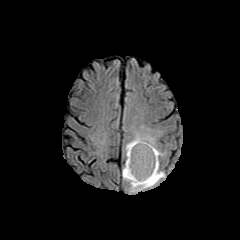
FLAIR MRI.
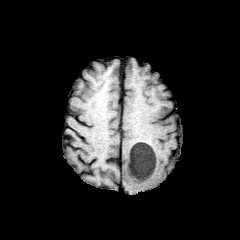
T1-weighted magnetic resonance.
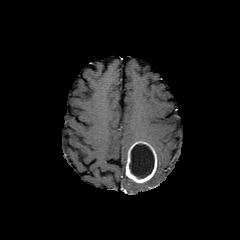
Post-contrast T1-weighted MR.
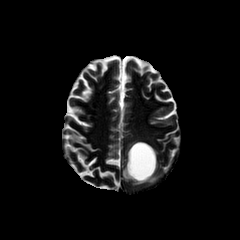
T2-weighted MR.
240x240 px | Head
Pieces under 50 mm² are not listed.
<segmentation>
  <enhancing_tumor>bbox(125, 141, 157, 183)</enhancing_tumor>
  <necrotic_tumor_core>bbox(129, 144, 154, 178)</necrotic_tumor_core>
  <peritumoral_edema>bbox(122, 132, 164, 192)</peritumoral_edema>
</segmentation>